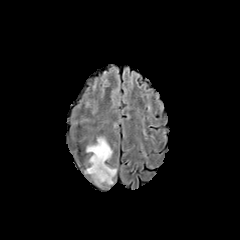
FLAIR MRI.
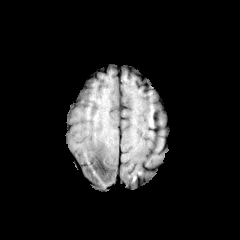
T1-weighted MR.
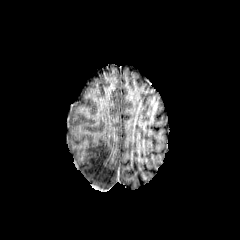
Post-contrast T1-weighted MRI.
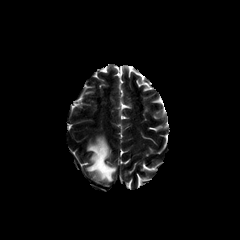
T2-weighted magnetic resonance of the same slice.
Head, Image size 240x240
Findings:
* peritumoral edema: (left=86, top=137, right=116, bottom=184)